Image width 240 mm, 1.00 mm slice spacing | Axial slice | Brain | 240x240 px
FLAIR MR.
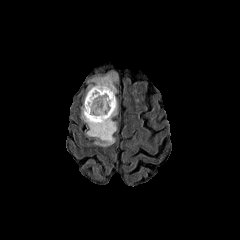
T1-weighted magnetic resonance.
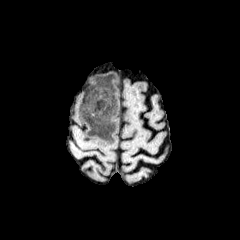
Post-contrast T1-weighted MR.
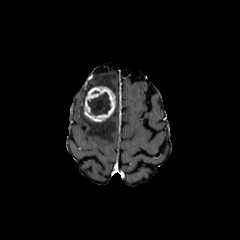
T2-weighted magnetic resonance.
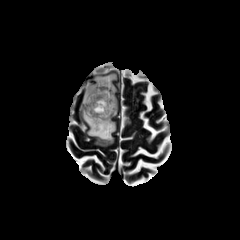
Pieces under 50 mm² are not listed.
2 peritumoral edema regions are bounded by <bbox>81, 98, 118, 146</bbox>, <bbox>87, 72, 117, 95</bbox>. The enhancing tumor is bounded by <bbox>84, 86, 115, 121</bbox>. The largest necrotic tumor core region is bounded by <bbox>87, 92, 110, 115</bbox>.